FLAIR MR image.
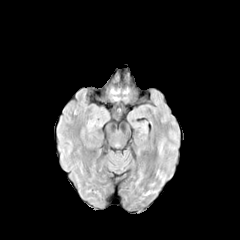
T1-weighted MR image.
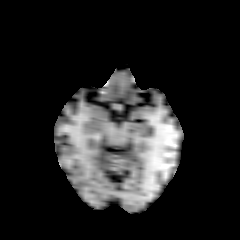
Post-contrast T1-weighted MR image.
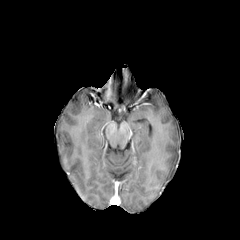
T2-weighted MRI.
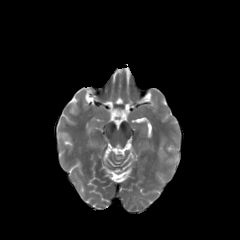
Axial view; Brain; Image size 240x240
Segmented structures:
- peritumoral edema: (left=159, top=141, right=163, bottom=157)